240x240
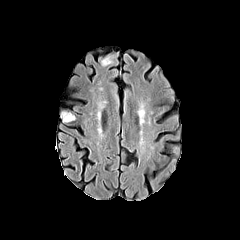
FLAIR MRI.
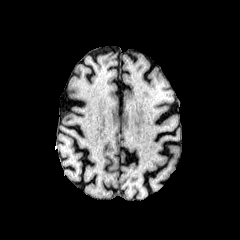
T1-weighted MR image.
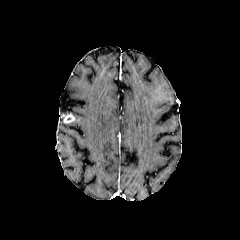
Post-contrast T1-weighted MR of the same slice.
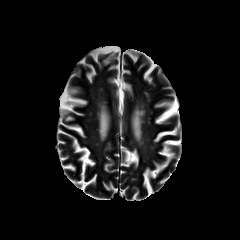
T2-weighted MR image.
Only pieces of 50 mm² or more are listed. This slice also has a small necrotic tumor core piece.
Annotated regions:
- enhancing tumor: bbox=[60, 112, 75, 123]